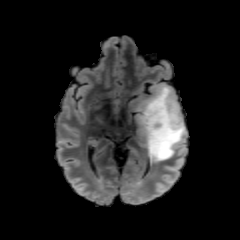
FLAIR MR.
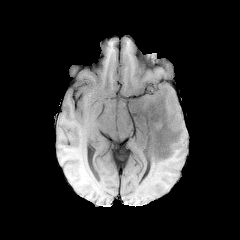
Same slice, T1-weighted MRI.
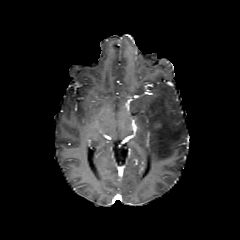
Post-contrast T1-weighted MR image of the same slice.
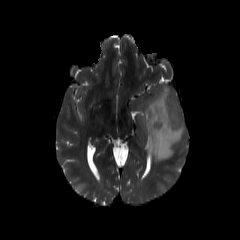
T2-weighted MR image.
Brain.
Findings:
- peritumoral edema: [137, 85, 186, 162]